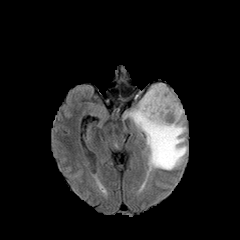
FLAIR MR image.
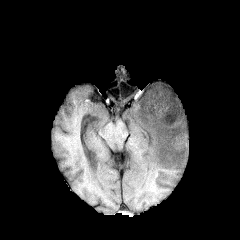
T1-weighted MR.
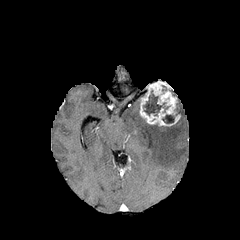
Post-contrast T1-weighted MR.
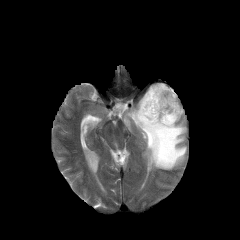
T2-weighted magnetic resonance.
Axial slice, 240x240
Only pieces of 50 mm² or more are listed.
necrotic tumor core: box(144, 94, 162, 115); box(162, 115, 174, 123) | peritumoral edema: box(125, 101, 187, 170) | enhancing tumor: box(139, 81, 180, 126)